Brain, Axial slice, 240x240
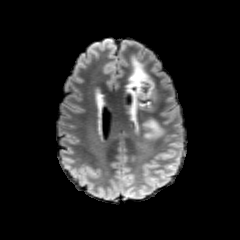
FLAIR MR image.
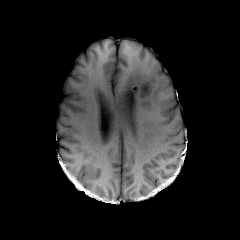
T1-weighted MR image of the same slice.
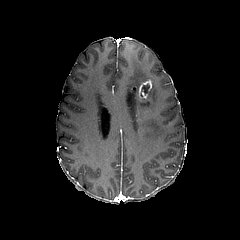
Post-contrast T1-weighted MR.
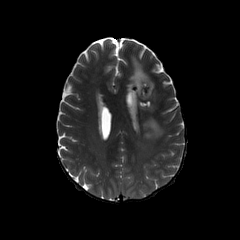
T2-weighted MR.
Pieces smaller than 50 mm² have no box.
<segmentation>
  <enhancing_tumor>l=137, t=79, r=152, b=98</enhancing_tumor>
  <necrotic_tumor_core>l=141, t=83, r=149, b=96</necrotic_tumor_core>
  <peritumoral_edema>l=144, t=120, r=163, b=138; l=127, t=56, r=151, b=110</peritumoral_edema>
</segmentation>